FLAIR magnetic resonance.
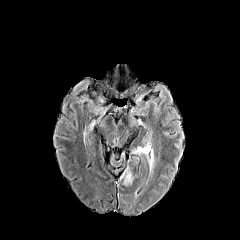
T1-weighted MRI.
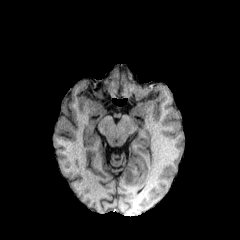
Post-contrast T1-weighted MR image.
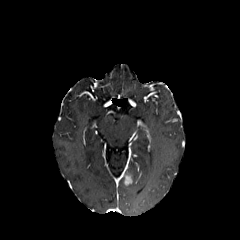
T2-weighted MR.
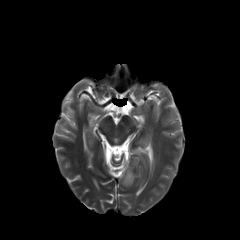
Head. 240x240. Axial plane.
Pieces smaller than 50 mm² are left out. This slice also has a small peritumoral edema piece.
The enhancing tumor appears at (left=124, top=173, right=132, bottom=185).